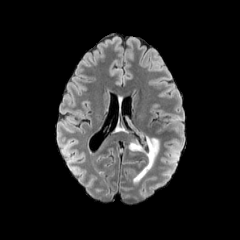
FLAIR MR image.
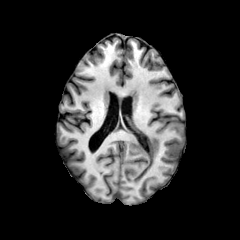
T1-weighted MRI.
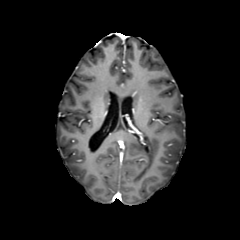
Post-contrast T1-weighted MR.
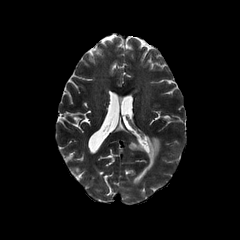
Same slice, T2-weighted magnetic resonance.
Head.
{"peritumoral_edema": ["rect(127, 136, 159, 183)"]}